Brain
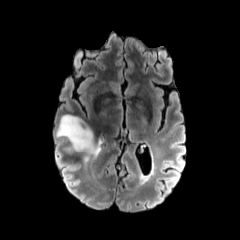
FLAIR MRI.
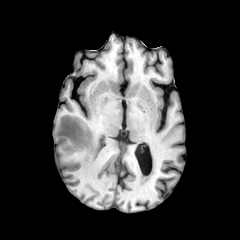
T1-weighted MR of the same slice.
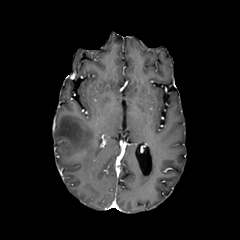
Post-contrast T1-weighted MRI of the same slice.
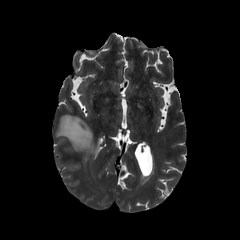
T2-weighted MRI.
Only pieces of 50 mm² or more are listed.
The largest peritumoral edema region is at box(56, 115, 102, 155).